Head; Slice 112 of 155
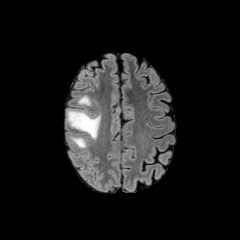
FLAIR magnetic resonance.
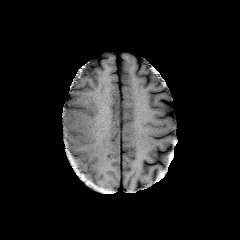
T1-weighted MRI.
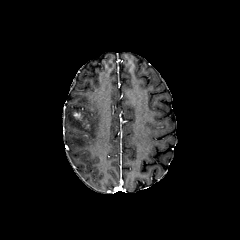
Post-contrast T1-weighted magnetic resonance of the same slice.
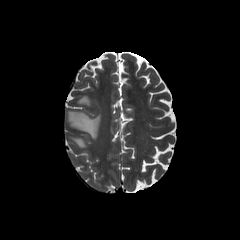
Same slice, T2-weighted MR image.
<segmentation>
  <peritumoral_edema><box>69,136,88,148</box>, <box>77,95,91,105</box>, <box>66,109,100,140</box></peritumoral_edema>
  <enhancing_tumor><box>72,112,90,128</box></enhancing_tumor>
</segmentation>